Slice 105 of 155, Axial slice
FLAIR MR.
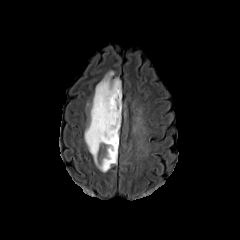
T1-weighted magnetic resonance.
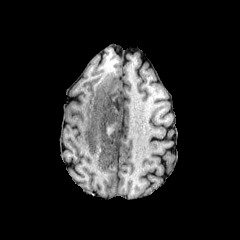
Post-contrast T1-weighted MRI.
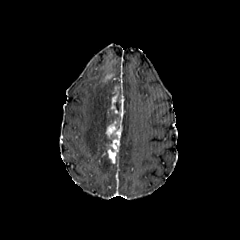
T2-weighted MR image.
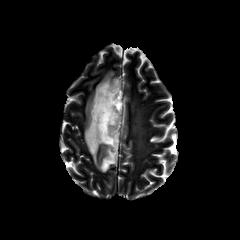
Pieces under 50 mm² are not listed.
{"necrotic_tumor_core": ["x1=106, y1=111, x2=118, y2=136"], "enhancing_tumor": ["x1=107, y1=83, x2=123, y2=163", "x1=103, y1=73, x2=113, y2=82"], "peritumoral_edema": ["x1=99, y1=153, x2=117, y2=172", "x1=84, y1=77, x2=120, y2=165"]}